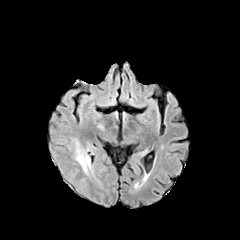
FLAIR magnetic resonance.
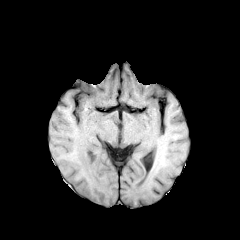
T1-weighted MR.
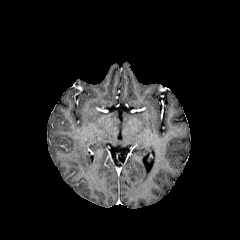
Post-contrast T1-weighted MR image.
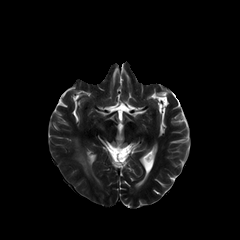
T2-weighted MR image.
Head
Findings:
- peritumoral edema: (left=76, top=142, right=90, bottom=173)